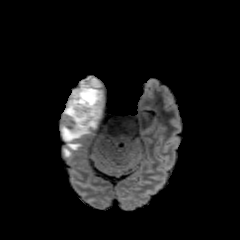
FLAIR MR.
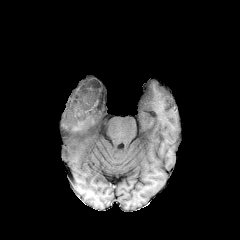
Same slice, T1-weighted MR.
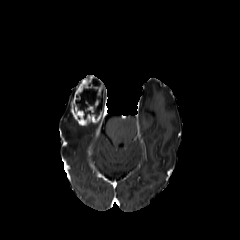
Post-contrast T1-weighted MR.
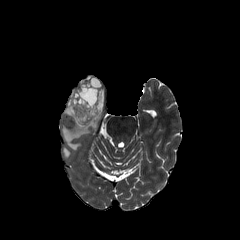
T2-weighted MRI.
240x240 px
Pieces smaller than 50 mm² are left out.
Annotated regions:
• peritumoral edema: [63,89,99,149], [64,148,71,157]
• enhancing tumor: [70,75,105,125]
• necrotic tumor core: [75,88,103,118]